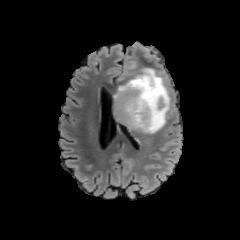
FLAIR MRI.
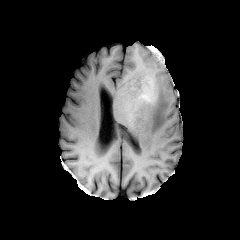
T1-weighted MR image.
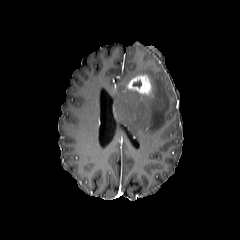
Post-contrast T1-weighted MRI.
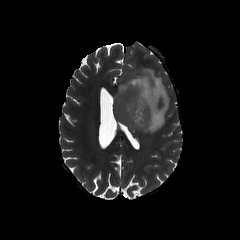
T2-weighted magnetic resonance.
Brain
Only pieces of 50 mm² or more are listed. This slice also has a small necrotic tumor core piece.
The peritumoral edema is bounded by 114, 68, 169, 133. The enhancing tumor is located at 126, 74, 153, 96.